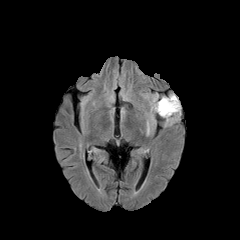
FLAIR MR image.
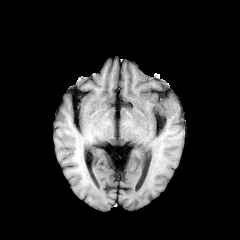
Same slice, T1-weighted MRI.
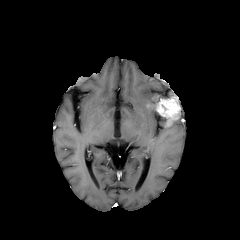
Post-contrast T1-weighted MRI.
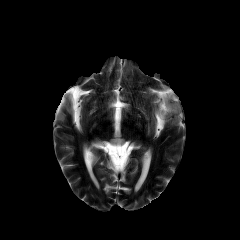
T2-weighted MRI of the same slice.
Axial view; 240x240 px; Head
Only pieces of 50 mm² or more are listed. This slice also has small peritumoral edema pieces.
The enhancing tumor appears at box=[154, 93, 180, 124].